Axial plane
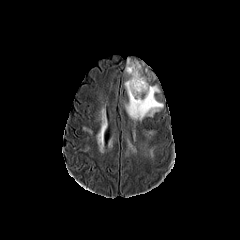
FLAIR MR image.
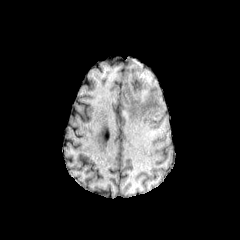
Same slice, T1-weighted MRI.
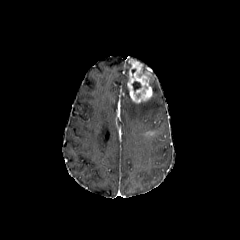
Post-contrast T1-weighted MR.
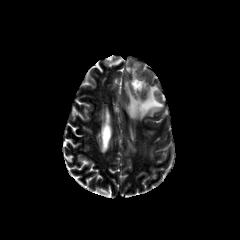
T2-weighted MR image.
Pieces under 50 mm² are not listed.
- peritumoral edema: bbox(124, 79, 163, 120)
- necrotic tumor core: bbox(132, 82, 140, 91)
- enhancing tumor: bbox(127, 58, 153, 103)